Axial plane
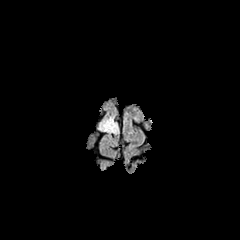
FLAIR MR image.
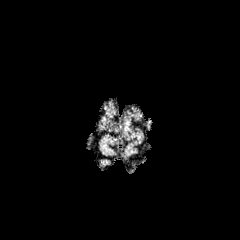
T1-weighted MR image.
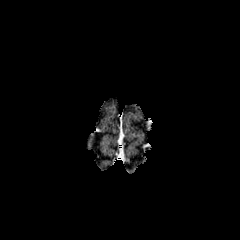
Post-contrast T1-weighted MRI of the same slice.
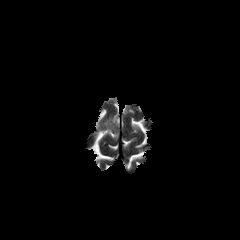
T2-weighted magnetic resonance.
peritumoral edema: bbox=[100, 116, 118, 133]